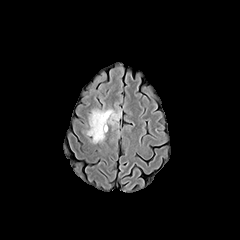
FLAIR magnetic resonance.
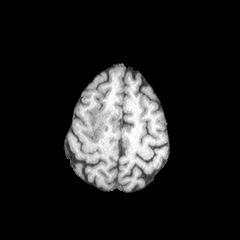
T1-weighted magnetic resonance.
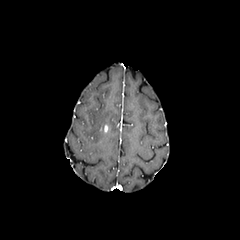
Post-contrast T1-weighted magnetic resonance of the same slice.
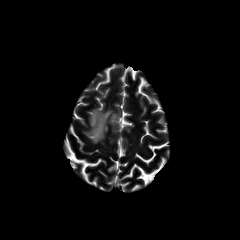
T2-weighted MRI of the same slice.
Axial view, Brain
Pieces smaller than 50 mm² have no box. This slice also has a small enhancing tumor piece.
The peritumoral edema is at left=87, top=109, right=121, bottom=143.